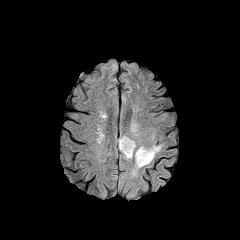
FLAIR MRI.
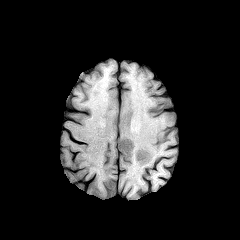
T1-weighted MR.
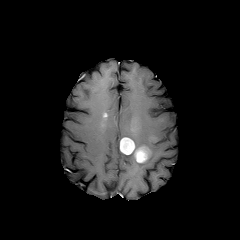
Post-contrast T1-weighted MR.
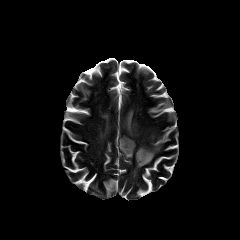
Same slice, T2-weighted MRI.
Head; 240x240 px
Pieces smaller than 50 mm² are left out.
enhancing tumor: (left=135, top=146, right=150, bottom=162), (left=120, top=137, right=135, bottom=154) | peritumoral edema: (left=123, top=147, right=138, bottom=160), (left=130, top=124, right=138, bottom=137), (left=131, top=142, right=163, bottom=176)